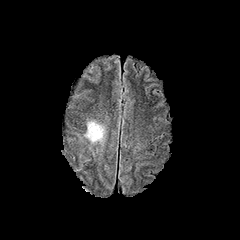
FLAIR magnetic resonance.
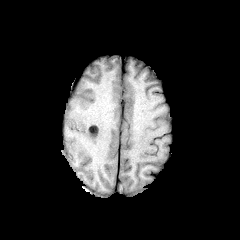
T1-weighted MR image of the same slice.
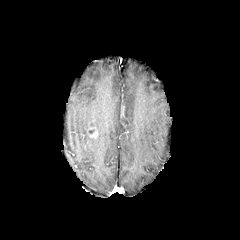
Post-contrast T1-weighted MRI.
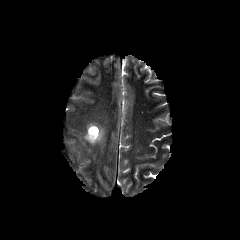
T2-weighted MR of the same slice.
Brain
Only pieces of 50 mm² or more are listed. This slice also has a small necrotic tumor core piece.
Annotated regions:
- peritumoral edema: <box>86,122,103,142</box>
- enhancing tumor: <box>87,127,97,137</box>